FLAIR magnetic resonance.
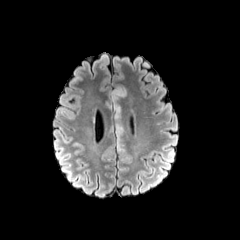
T1-weighted magnetic resonance.
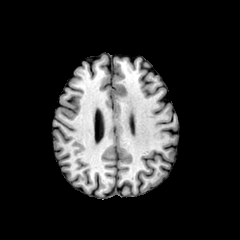
Post-contrast T1-weighted MRI.
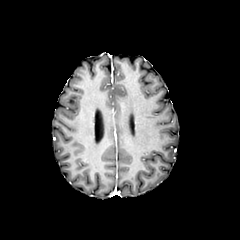
T2-weighted MR image.
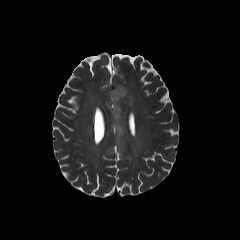
Axial view | Head
peritumoral edema: x1=110, y1=86, x2=127, y2=117